Axial plane. 240x240 px. Image width 240 mm. Head.
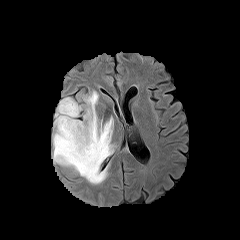
FLAIR MRI.
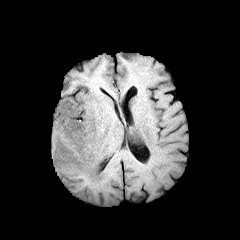
T1-weighted MR of the same slice.
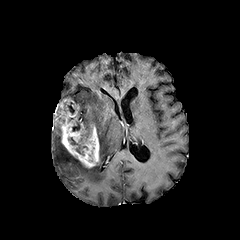
Same slice, post-contrast T1-weighted MR.
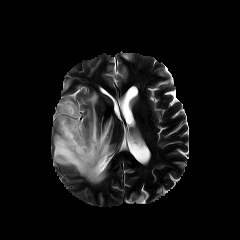
T2-weighted magnetic resonance.
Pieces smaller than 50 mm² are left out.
The enhancing tumor is located at x1=54, y1=98, x2=99, y2=168. The largest peritumoral edema region is located at x1=53, y1=91, x2=114, y2=183. The 3 largest necrotic tumor core regions appear at x1=72, y1=121, x2=80, y2=131; x1=68, y1=137, x2=83, y2=154; x1=67, y1=102, x2=74, y2=114.